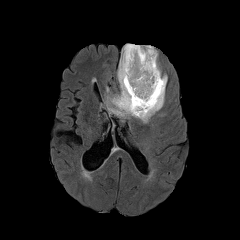
FLAIR magnetic resonance.
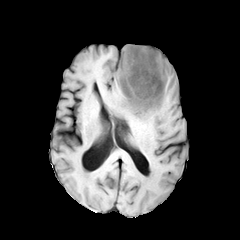
Same slice, T1-weighted magnetic resonance.
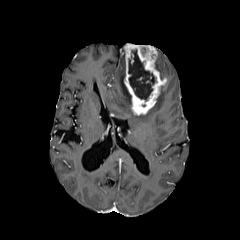
Same slice, post-contrast T1-weighted magnetic resonance.
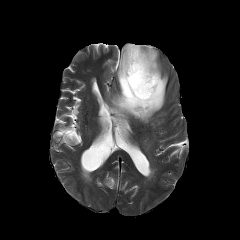
Same slice, T2-weighted magnetic resonance.
Axial slice. Brain. 240x240 px.
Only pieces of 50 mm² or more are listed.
necrotic_tumor_core:
  - 128, 49, 155, 100
enhancing_tumor:
  - 124, 43, 166, 115
peritumoral_edema:
  - 106, 48, 165, 123
  - 155, 57, 167, 80